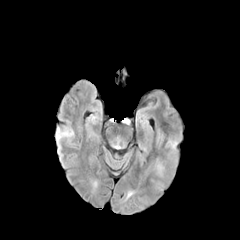
FLAIR MR.
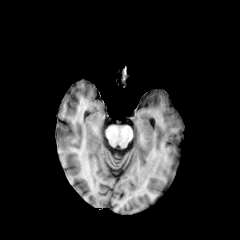
Same slice, T1-weighted MR image.
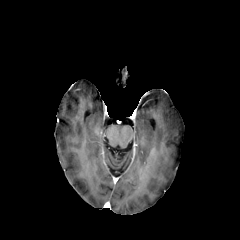
Post-contrast T1-weighted MR image.
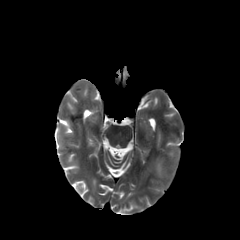
T2-weighted MRI of the same slice.
Brain; Axial view
The peritumoral edema is located at 155:160:162:173.